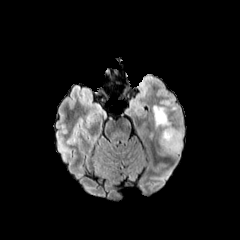
FLAIR MR image.
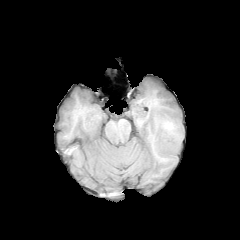
Same slice, T1-weighted magnetic resonance.
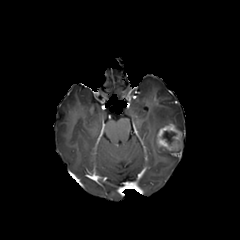
Post-contrast T1-weighted MR of the same slice.
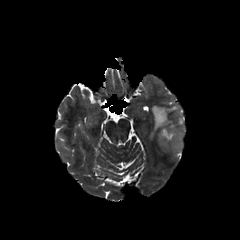
T2-weighted MRI.
Axial plane
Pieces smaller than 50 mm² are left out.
necrotic tumor core: (162,131,176,144) | peritumoral edema: (152,106,176,130), (173,118,183,140) | enhancing tumor: (155,123,182,156)